240x240
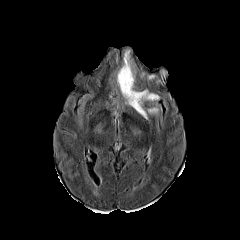
FLAIR magnetic resonance.
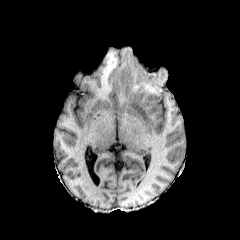
Same slice, T1-weighted MR.
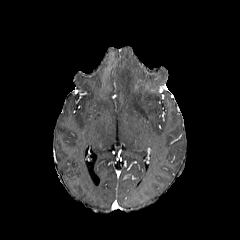
Post-contrast T1-weighted MRI.
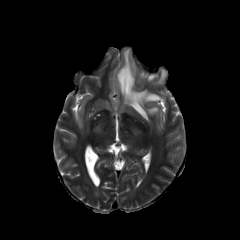
T2-weighted MRI.
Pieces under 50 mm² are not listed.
peritumoral edema at x1=147, y1=108, x2=157, y2=114; x1=117, y1=49, x2=159, y2=119